FLAIR MR.
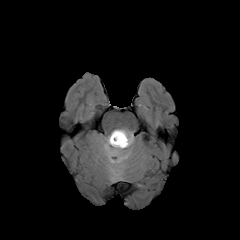
T1-weighted MRI.
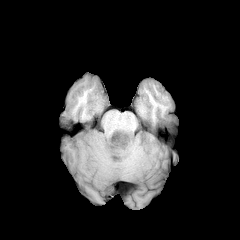
Post-contrast T1-weighted MRI.
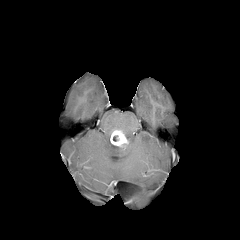
T2-weighted MR image.
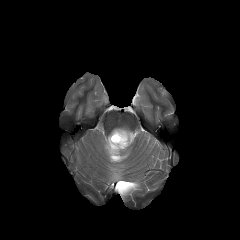
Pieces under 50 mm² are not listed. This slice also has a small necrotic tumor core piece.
enhancing_tumor:
  - bbox=[110, 130, 128, 147]
peritumoral_edema:
  - bbox=[101, 128, 134, 180]